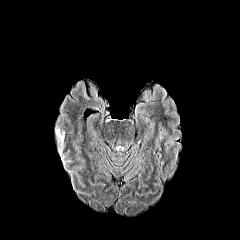
FLAIR MRI.
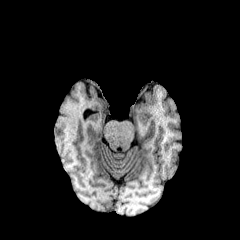
Same slice, T1-weighted MR.
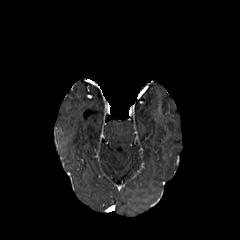
Same slice, post-contrast T1-weighted MR image.
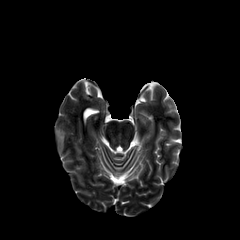
T2-weighted MR.
Head | Axial plane
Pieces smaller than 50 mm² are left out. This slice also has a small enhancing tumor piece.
Annotated regions:
- peritumoral edema: rect(56, 131, 64, 143)